240x240
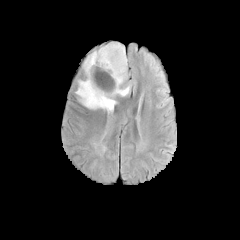
FLAIR MRI.
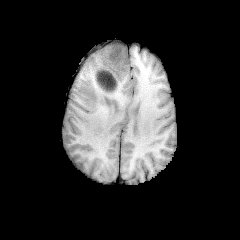
T1-weighted MRI.
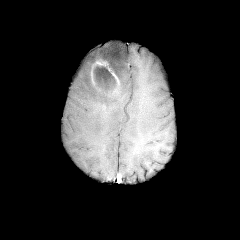
Post-contrast T1-weighted MR.
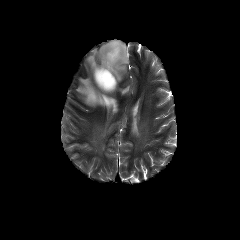
T2-weighted MRI of the same slice.
Segmented structures:
• necrotic tumor core: l=93, t=66, r=115, b=90
• peritumoral edema: l=75, t=42, r=127, b=112; l=118, t=86, r=130, b=95
• enhancing tumor: l=90, t=59, r=121, b=95